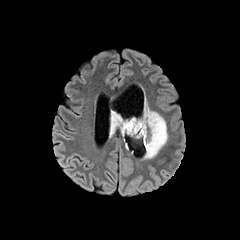
FLAIR magnetic resonance.
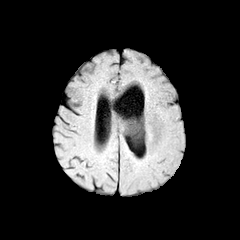
T1-weighted MR image.
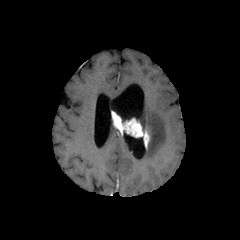
Post-contrast T1-weighted magnetic resonance.
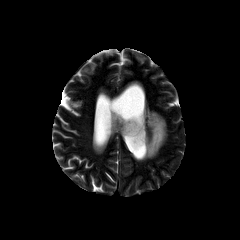
T2-weighted MR image.
Axial plane
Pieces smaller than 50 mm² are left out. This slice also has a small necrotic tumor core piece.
peritumoral edema: [138, 98, 167, 158], [109, 114, 117, 137] | enhancing tumor: [111, 111, 149, 149]